FLAIR magnetic resonance.
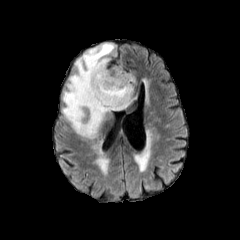
T1-weighted MR.
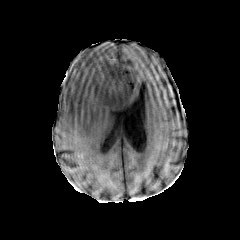
Post-contrast T1-weighted MR image.
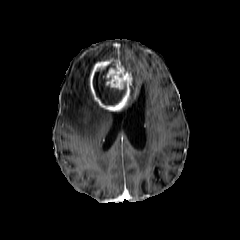
T2-weighted MRI.
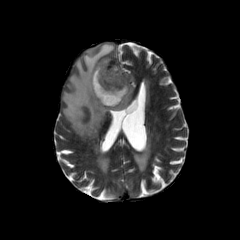
240x240 px, Brain
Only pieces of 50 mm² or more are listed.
Findings:
* peritumoral edema: [x1=128, y1=73, x2=137, y2=105], [x1=62, y1=43, x2=117, y2=138]
* necrotic tumor core: [x1=93, y1=64, x2=125, y2=104]
* enhancing tumor: [x1=89, y1=59, x2=132, y2=111]